Axial view, 240x240 px
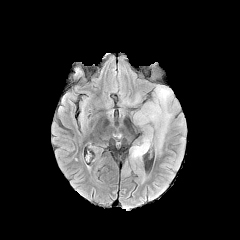
FLAIR MR.
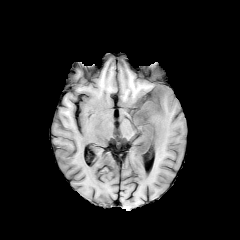
T1-weighted MR image.
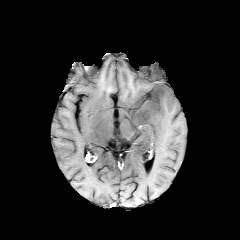
Same slice, post-contrast T1-weighted MRI.
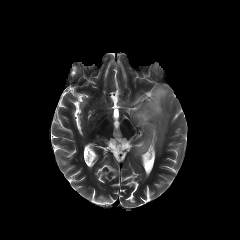
Same slice, T2-weighted MRI.
The peritumoral edema is located at (129, 82, 179, 154).